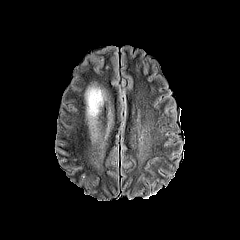
FLAIR MR.
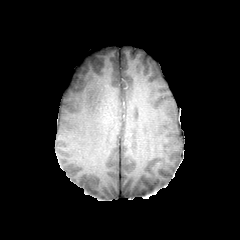
T1-weighted MR.
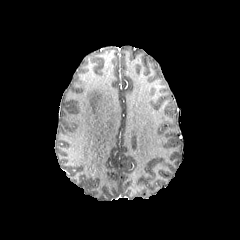
Post-contrast T1-weighted MRI.
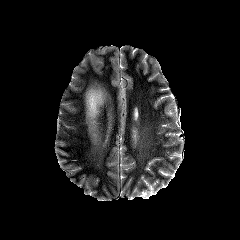
T2-weighted MR image of the same slice.
Axial slice.
peritumoral_edema:
  - box(87, 88, 102, 117)